Image width 240 mm | Image size 240x240 | Axial view
FLAIR magnetic resonance.
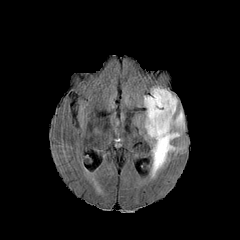
T1-weighted MR image.
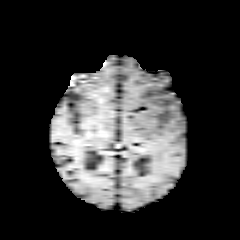
Post-contrast T1-weighted MR.
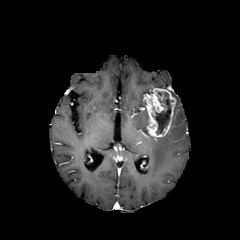
T2-weighted magnetic resonance.
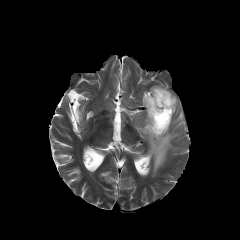
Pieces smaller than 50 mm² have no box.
The necrotic tumor core is at (left=154, top=95, right=172, bottom=133). The enhancing tumor is bounded by (left=143, top=88, right=176, bottom=139). The largest peritumoral edema region is located at (left=144, top=111, right=184, bottom=177).